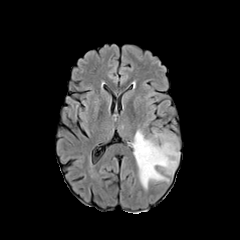
FLAIR magnetic resonance.
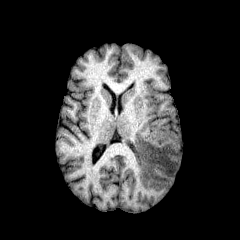
T1-weighted magnetic resonance.
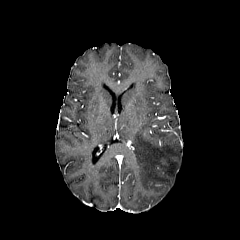
Post-contrast T1-weighted magnetic resonance.
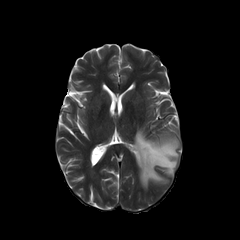
T2-weighted magnetic resonance of the same slice.
240x240 px. Axial view.
<segmentation>
  <peritumoral_edema>rect(133, 130, 179, 189)</peritumoral_edema>
</segmentation>